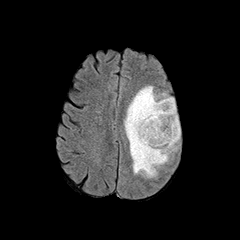
FLAIR MRI.
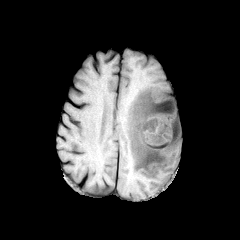
T1-weighted MRI.
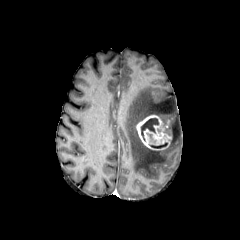
Same slice, post-contrast T1-weighted MR image.
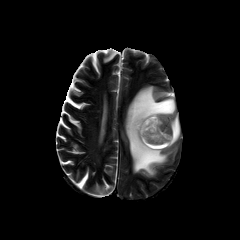
T2-weighted MR image.
Axial plane; Brain
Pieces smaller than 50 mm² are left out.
{
  "enhancing_tumor": [
    "x1=136 y1=115 x2=171 y2=150"
  ],
  "necrotic_tumor_core": [
    "x1=150 y1=142 x2=167 y2=148",
    "x1=141 y1=118 x2=158 y2=140"
  ],
  "peritumoral_edema": [
    "x1=124 y1=86 x2=180 y2=177"
  ]
}